FLAIR MR image.
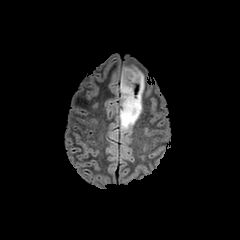
T1-weighted magnetic resonance.
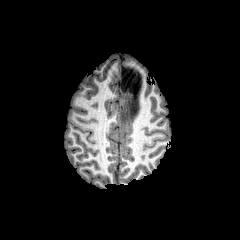
Post-contrast T1-weighted MR.
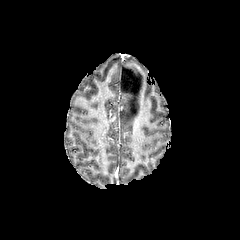
T2-weighted MRI.
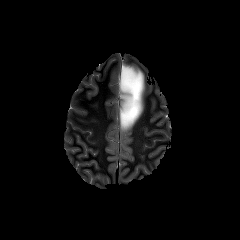
Brain
The peritumoral edema is located at bbox(120, 65, 144, 132).